Axial slice | Slice 45 of 155 | Image covers 240 mm x 240 mm
FLAIR MRI.
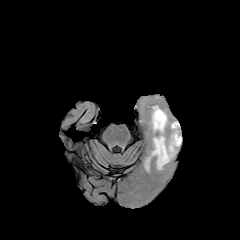
T1-weighted MR image.
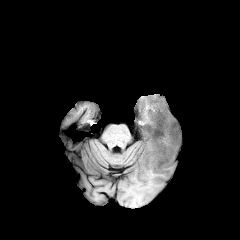
Post-contrast T1-weighted MRI.
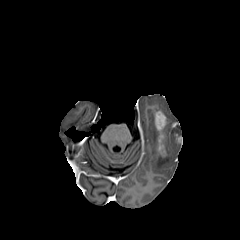
T2-weighted MR.
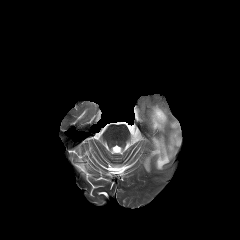
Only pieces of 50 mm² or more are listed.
The largest enhancing tumor region is bounded by bbox=[154, 110, 167, 156]. The peritumoral edema lies within bbox=[144, 105, 182, 171].